FLAIR MR.
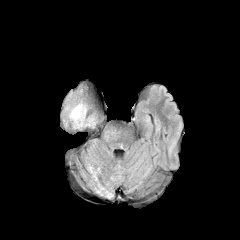
T1-weighted magnetic resonance.
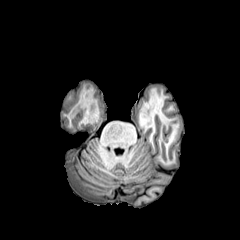
Post-contrast T1-weighted MR image.
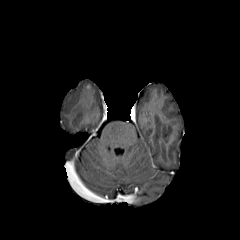
T2-weighted MR.
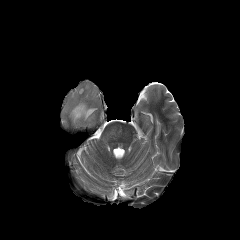
Axial plane; 240x240 px
peritumoral edema — 66:101:86:124